Slice index 100. Head. Axial view. Image width 240 mm, 1.00 mm slice spacing.
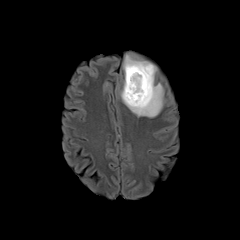
FLAIR MRI.
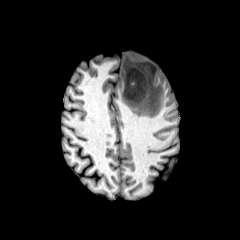
T1-weighted magnetic resonance of the same slice.
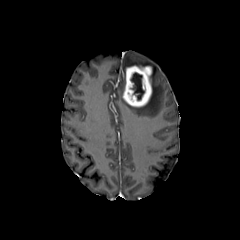
Same slice, post-contrast T1-weighted MR image.
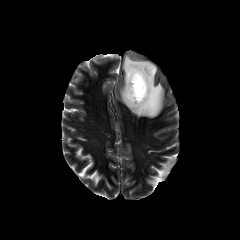
T2-weighted MR of the same slice.
necrotic tumor core at box(131, 73, 144, 100)
enhancing tumor at box(122, 65, 152, 107)
peritumoral edema at box(121, 54, 163, 117)